FLAIR MRI.
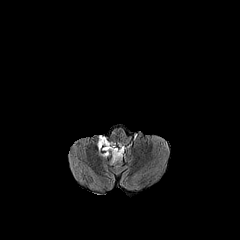
T1-weighted MR.
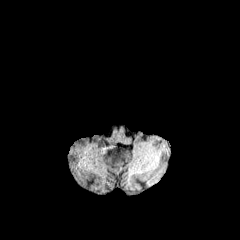
Post-contrast T1-weighted MR image.
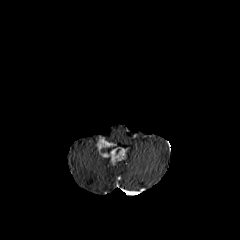
T2-weighted MRI.
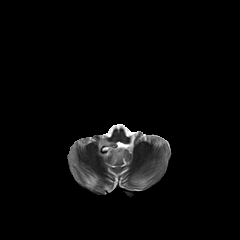
240x240. Axial view.
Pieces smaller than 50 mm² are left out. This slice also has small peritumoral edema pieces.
necrotic_tumor_core:
  - box(101, 147, 112, 152)
enhancing_tumor:
  - box(97, 137, 126, 164)